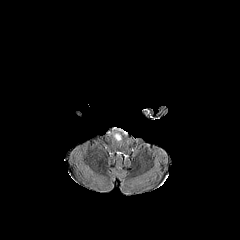
FLAIR MR.
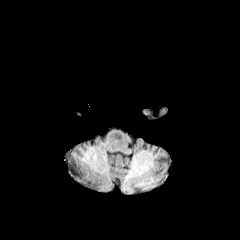
T1-weighted MRI.
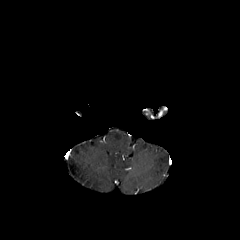
Post-contrast T1-weighted MR of the same slice.
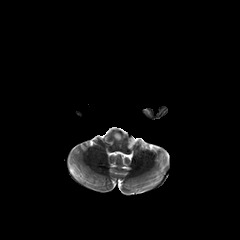
Same slice, T2-weighted MR.
Axial slice. 240x240 px.
<segmentation>
  <peritumoral_edema>113 133 121 140</peritumoral_edema>
</segmentation>